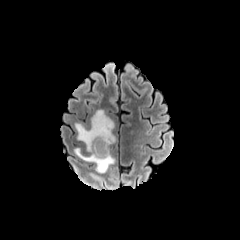
FLAIR magnetic resonance.
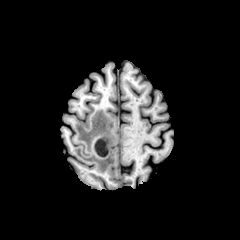
T1-weighted MR image.
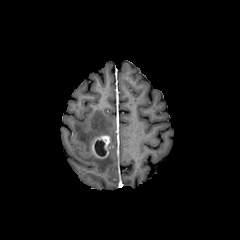
Post-contrast T1-weighted magnetic resonance of the same slice.
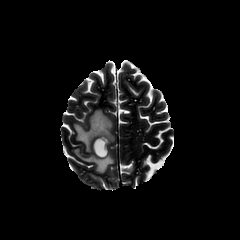
T2-weighted MRI.
Brain.
Annotated regions:
* enhancing tumor: box=[91, 135, 110, 158]
* necrotic tumor core: box=[94, 140, 106, 156]
* peritumoral edema: box=[74, 109, 115, 173]